240x240; Head
FLAIR magnetic resonance.
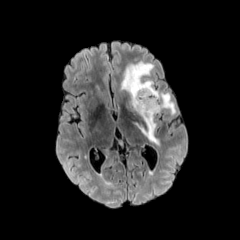
T1-weighted MR.
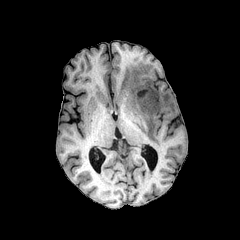
Post-contrast T1-weighted MRI.
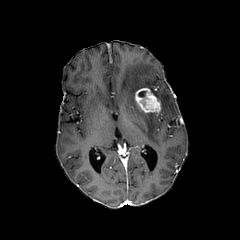
T2-weighted MR.
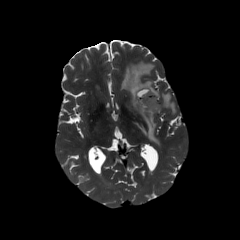
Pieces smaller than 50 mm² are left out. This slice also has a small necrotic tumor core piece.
The peritumoral edema is at x1=121, y1=61, x2=175, y2=145. The enhancing tumor is at x1=135, y1=88, x2=161, y2=113.